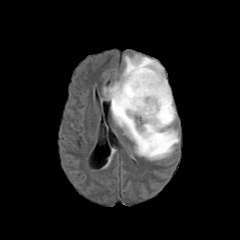
FLAIR MRI.
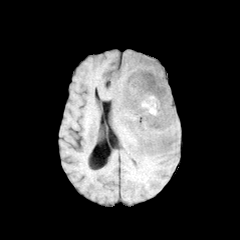
T1-weighted MRI.
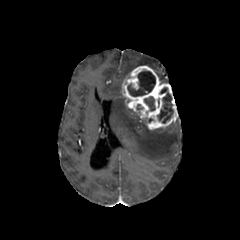
Post-contrast T1-weighted MRI.
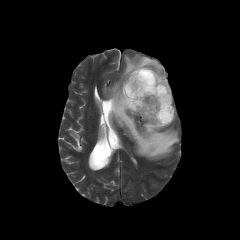
T2-weighted MR image.
Brain
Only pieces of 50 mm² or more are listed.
peritumoral edema at rect(103, 54, 179, 160)
necrotic tumor core at rect(157, 93, 173, 123); rect(144, 97, 155, 110); rect(127, 71, 155, 96)
enhancing tumor at rect(121, 65, 177, 129)